Image size 240x240; Brain
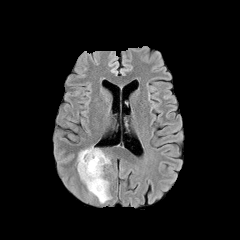
FLAIR magnetic resonance.
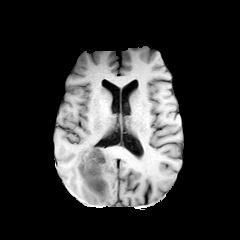
T1-weighted MRI.
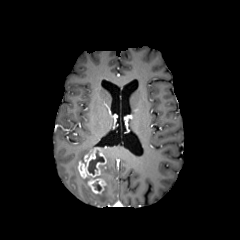
Post-contrast T1-weighted magnetic resonance of the same slice.
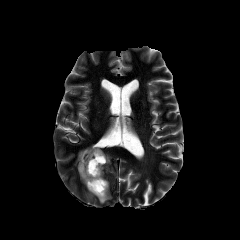
T2-weighted MR image.
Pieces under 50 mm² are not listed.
<segmentation>
  <enhancing_tumor>(x1=78, y1=148, x2=106, y2=194)</enhancing_tumor>
  <peritumoral_edema>(x1=80, y1=176, x2=110, y2=203), (x1=77, y1=146, x2=93, y2=164)</peritumoral_edema>
  <necrotic_tumor_core>(x1=88, y1=151, x2=104, y2=174)</necrotic_tumor_core>
</segmentation>